Brain | Slice 37 of 155 | Image width 240 mm
FLAIR MR image.
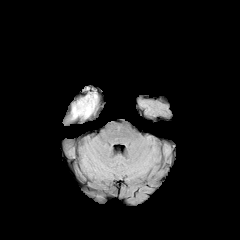
T1-weighted MR image.
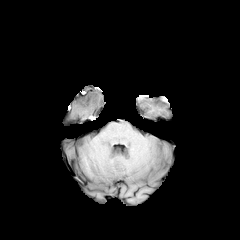
Post-contrast T1-weighted magnetic resonance.
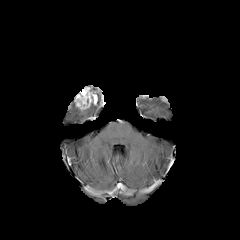
T2-weighted magnetic resonance.
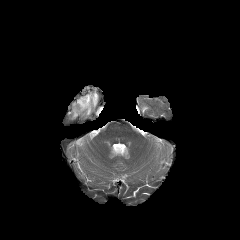
The enhancing tumor is located at {"x1": 74, "y1": 87, "x2": 97, "y2": 111}. The peritumoral edema lies within {"x1": 72, "y1": 103, "x2": 95, "y2": 118}.